FLAIR MR image.
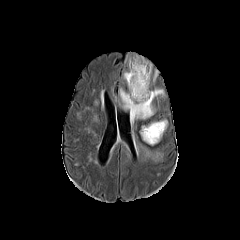
T1-weighted MR image.
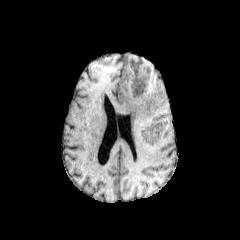
Post-contrast T1-weighted MR image.
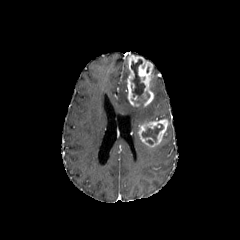
T2-weighted MR.
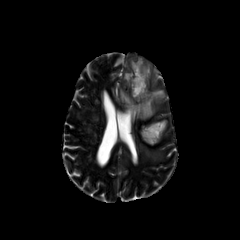
240x240; Axial view
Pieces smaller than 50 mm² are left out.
Annotated regions:
• necrotic tumor core: {"x1": 142, "y1": 124, "x2": 163, "y2": 141}, {"x1": 131, "y1": 59, "x2": 145, "y2": 97}
• peritumoral edema: {"x1": 118, "y1": 87, "x2": 164, "y2": 124}, {"x1": 137, "y1": 144, "x2": 162, "y2": 160}
• enhancing tumor: {"x1": 138, "y1": 119, "x2": 168, "y2": 146}, {"x1": 127, "y1": 54, "x2": 153, "y2": 106}